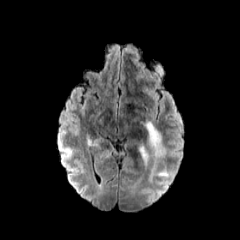
FLAIR magnetic resonance.
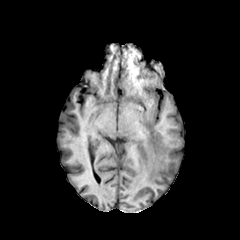
T1-weighted magnetic resonance.
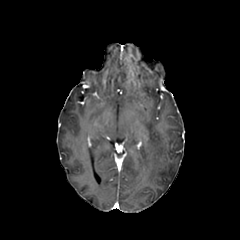
Same slice, post-contrast T1-weighted MR image.
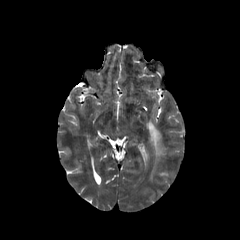
T2-weighted MR.
Brain, 240x240 px
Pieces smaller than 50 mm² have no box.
peritumoral edema: bounding box rect(145, 122, 165, 157); rect(157, 170, 169, 176); rect(139, 145, 148, 161)